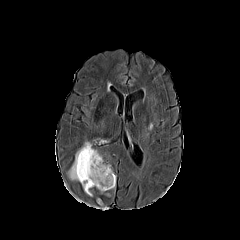
FLAIR MR image.
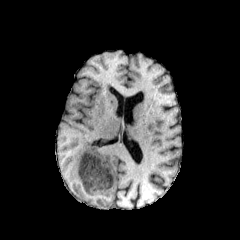
Same slice, T1-weighted MR.
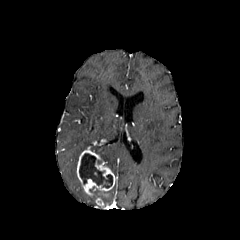
Post-contrast T1-weighted MR image.
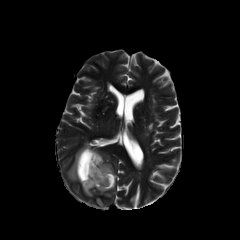
Same slice, T2-weighted MR.
240x240 px. Axial view.
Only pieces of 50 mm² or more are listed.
necrotic tumor core = box=[79, 153, 112, 188]
enhancing tumor = box=[76, 146, 115, 195]
peritumoral edema = box=[68, 141, 91, 180]